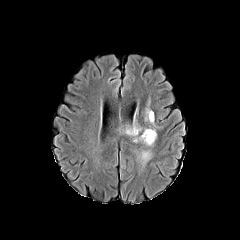
FLAIR MR image.
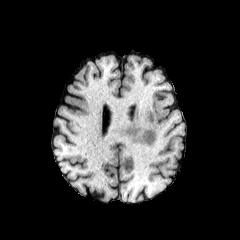
Same slice, T1-weighted magnetic resonance.
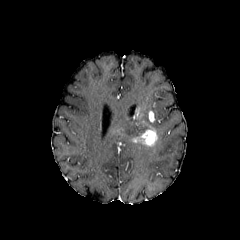
Post-contrast T1-weighted MRI.
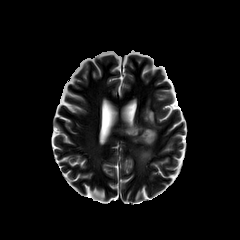
T2-weighted magnetic resonance.
240x240 px, Axial slice
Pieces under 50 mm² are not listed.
peritumoral edema: bounding box <box>144,108,162,131</box>, <box>136,149,153,168</box>, <box>118,122,142,137</box>
enhancing tumor: bounding box <box>133,129,157,146</box>, <box>148,111,154,122</box>